FLAIR MR.
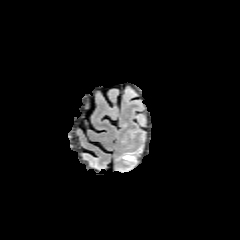
T1-weighted MR.
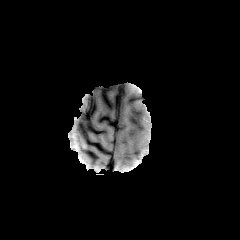
Post-contrast T1-weighted magnetic resonance.
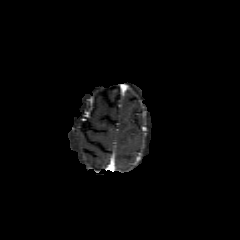
T2-weighted MRI.
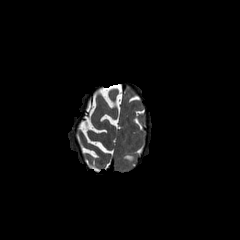
240x240; Head
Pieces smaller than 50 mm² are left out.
{
  "peritumoral_edema": [
    "box(123, 154, 134, 160)"
  ]
}